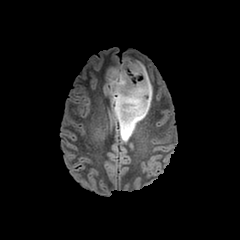
FLAIR MRI.
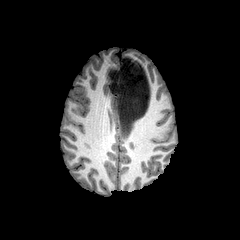
T1-weighted MRI.
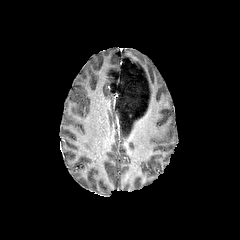
Post-contrast T1-weighted MR of the same slice.
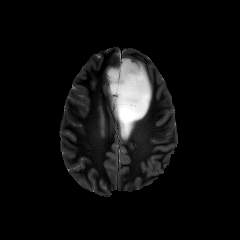
Same slice, T2-weighted MR.
240x240. Brain.
{"peritumoral_edema": ["(107, 57, 152, 141)"]}